Brain. Image covers 240 mm x 240 mm. Axial slice.
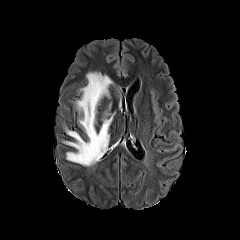
FLAIR MRI.
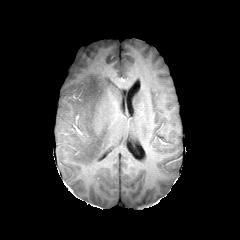
T1-weighted MR.
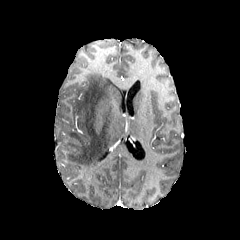
Post-contrast T1-weighted MR.
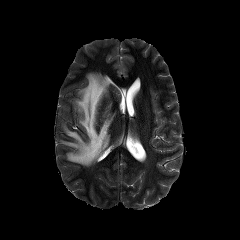
T2-weighted MRI.
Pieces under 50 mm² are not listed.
The largest peritumoral edema region is located at left=63, top=72, right=114, bottom=166.